FLAIR magnetic resonance.
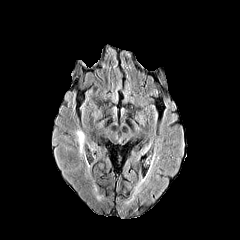
T1-weighted MR image.
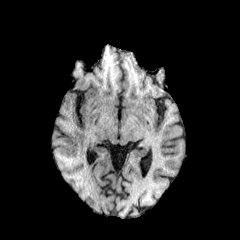
Post-contrast T1-weighted MR image.
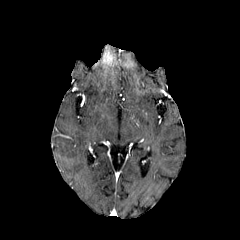
T2-weighted magnetic resonance.
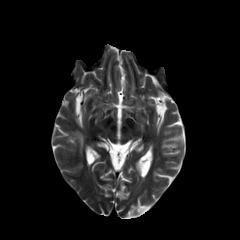
peritumoral edema: {"x1": 76, "y1": 131, "x2": 84, "y2": 153}